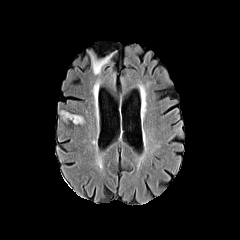
FLAIR MR.
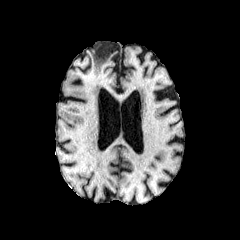
T1-weighted MR.
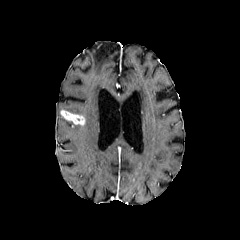
Post-contrast T1-weighted magnetic resonance.
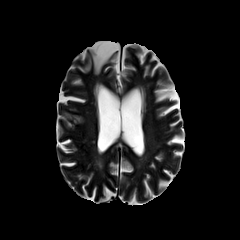
T2-weighted MR of the same slice.
240x240; Brain; Axial plane
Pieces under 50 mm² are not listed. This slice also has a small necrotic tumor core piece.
The enhancing tumor is bounded by (60, 110, 85, 125).